Slice 77 of 155
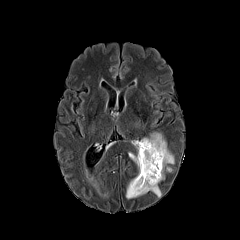
FLAIR magnetic resonance.
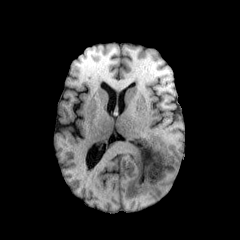
T1-weighted MR image.
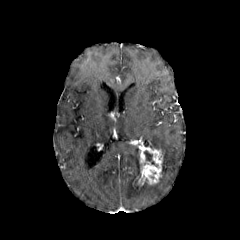
Post-contrast T1-weighted magnetic resonance.
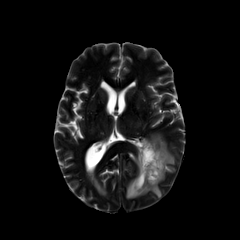
T2-weighted magnetic resonance of the same slice.
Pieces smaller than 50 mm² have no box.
necrotic tumor core at box(144, 151, 154, 164)
peritumoral edema at box(142, 132, 174, 181); box(128, 145, 140, 174); box(126, 179, 161, 198)
enhancing tumor at box(132, 139, 163, 193)